FLAIR MR.
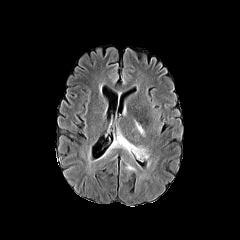
T1-weighted MRI.
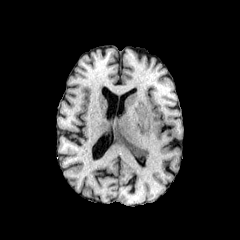
Post-contrast T1-weighted magnetic resonance.
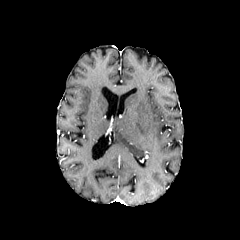
T2-weighted magnetic resonance.
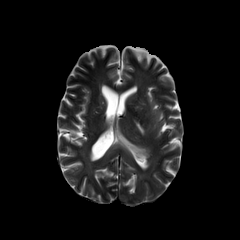
Axial slice; Image size 240x240
peritumoral_edema:
  - <box>135,120,145,136</box>
  - <box>124,164,137,172</box>
  - <box>106,130,151,162</box>